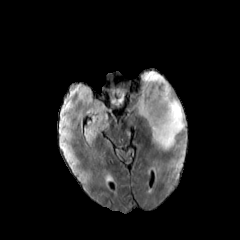
FLAIR magnetic resonance.
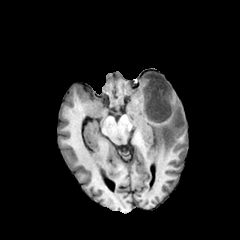
T1-weighted MR.
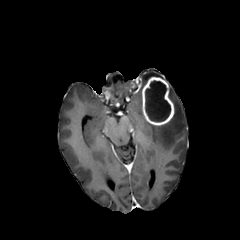
Post-contrast T1-weighted magnetic resonance.
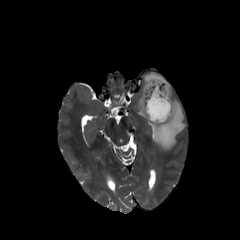
T2-weighted MR image.
Axial view
enhancing_tumor:
  - 142:76:174:125
necrotic_tumor_core:
  - 145:81:170:121
peritumoral_edema:
  - 149:87:185:149
  - 142:71:162:85
  - 138:92:142:115